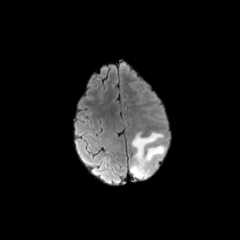
FLAIR MR image.
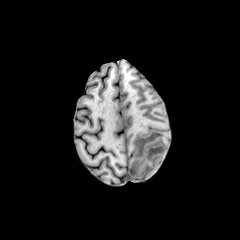
Same slice, T1-weighted MRI.
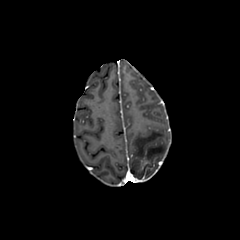
Post-contrast T1-weighted MR.
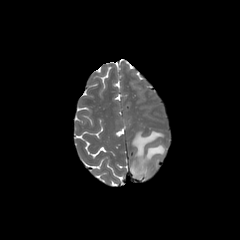
T2-weighted magnetic resonance.
Axial view.
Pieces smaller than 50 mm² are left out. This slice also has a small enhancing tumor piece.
peritumoral edema: {"x1": 131, "y1": 132, "x2": 165, "y2": 178}